240x240. Image covers 240 mm x 240 mm. Axial plane. Slice 57 of 155.
FLAIR MR image.
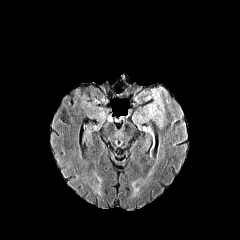
T1-weighted magnetic resonance.
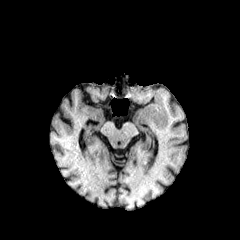
Post-contrast T1-weighted MR.
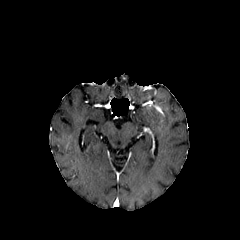
T2-weighted MR.
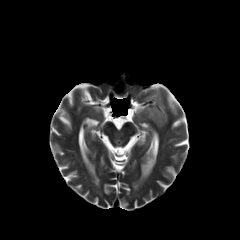
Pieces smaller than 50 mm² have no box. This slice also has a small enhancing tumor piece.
The peritumoral edema appears at [145,90,163,126].